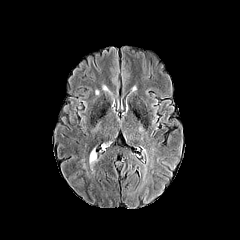
FLAIR MRI.
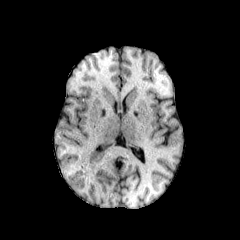
T1-weighted magnetic resonance.
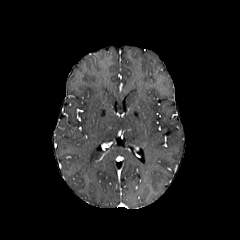
Post-contrast T1-weighted MR of the same slice.
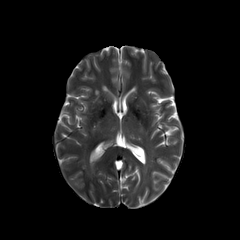
Same slice, T2-weighted MR image.
240x240.
<segmentation>
  <peritumoral_edema>left=89, top=149, right=96, bottom=164</peritumoral_edema>
</segmentation>